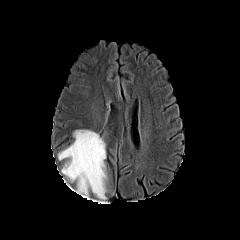
FLAIR MRI.
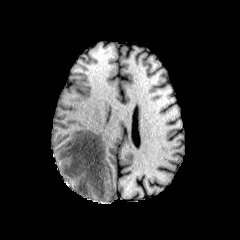
Same slice, T1-weighted magnetic resonance.
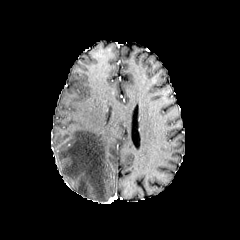
Post-contrast T1-weighted MR image.
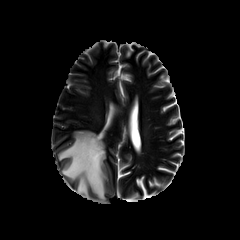
Same slice, T2-weighted magnetic resonance.
Axial plane
The peritumoral edema is bounded by rect(58, 130, 107, 201).